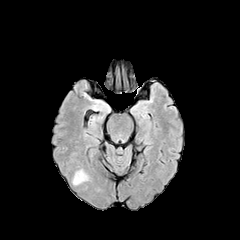
FLAIR MR.
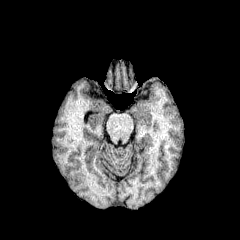
T1-weighted MR image of the same slice.
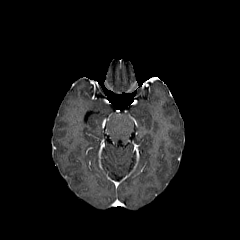
Post-contrast T1-weighted magnetic resonance.
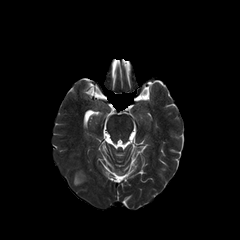
T2-weighted MRI.
<segmentation>
  <peritumoral_edema>73 170 86 184</peritumoral_edema>
</segmentation>